Axial plane, Slice 66/155, Image covers 240 mm x 240 mm
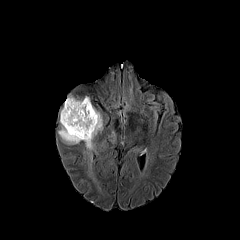
FLAIR magnetic resonance.
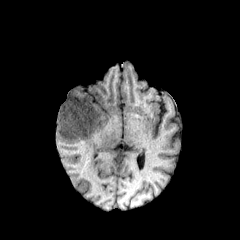
T1-weighted MR.
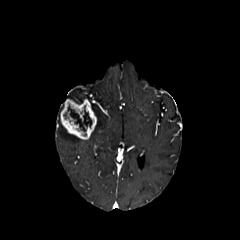
Post-contrast T1-weighted MR image of the same slice.
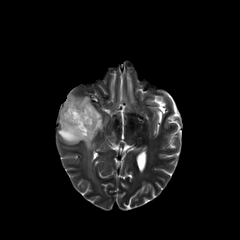
T2-weighted MR image of the same slice.
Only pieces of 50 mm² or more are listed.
Annotated regions:
* enhancing tumor: bbox(60, 99, 96, 139)
* necrotic tumor core: bbox(67, 105, 92, 131)
* peritumoral edema: bbox(58, 106, 103, 181); bbox(67, 95, 83, 102)